FLAIR MRI.
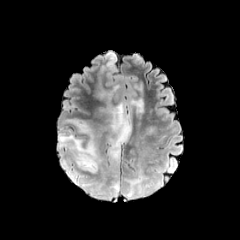
T1-weighted MR image.
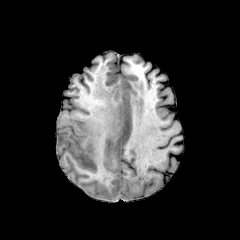
Post-contrast T1-weighted MR.
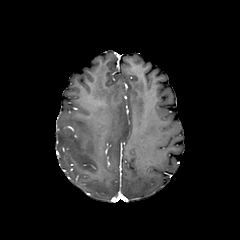
T2-weighted MR.
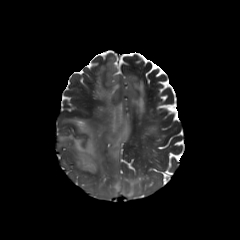
Axial view
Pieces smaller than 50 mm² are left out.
peritumoral edema at <box>134,83,142,92</box>, <box>58,119,104,178</box>, <box>99,85,130,166</box>, <box>87,171,151,198</box>, <box>129,97,143,113</box>